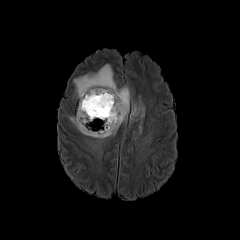
FLAIR MR image.
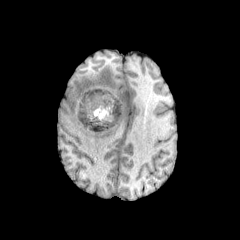
T1-weighted MR of the same slice.
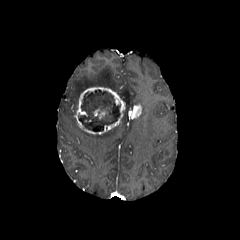
Post-contrast T1-weighted MR.
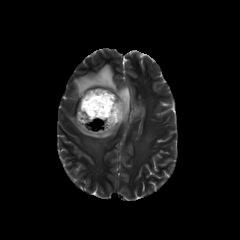
T2-weighted MRI.
Axial slice; Head
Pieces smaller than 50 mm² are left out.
<segmentation>
  <peritumoral_edema>bbox(69, 116, 119, 138); bbox(73, 64, 131, 109)</peritumoral_edema>
  <enhancing_tumor>bbox(74, 87, 141, 134)</enhancing_tumor>
  <necrotic_tumor_core>bbox(79, 90, 120, 131)</necrotic_tumor_core>
</segmentation>